Brain; Image covers 240 mm x 240 mm
FLAIR MR image.
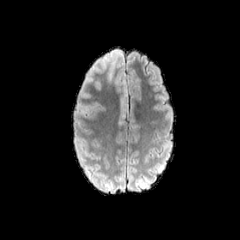
T1-weighted MRI.
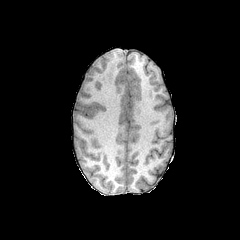
Post-contrast T1-weighted MRI.
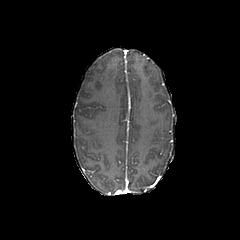
T2-weighted MRI.
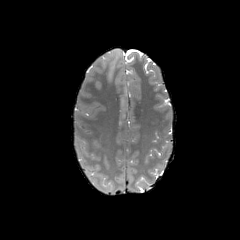
peritumoral_edema:
  - (118, 79, 130, 123)
  - (105, 62, 115, 85)